Image covers 240 mm x 240 mm | 240x240 | Slice index 107 | Brain
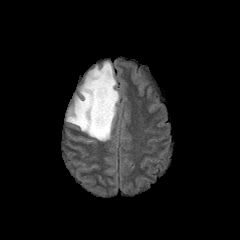
FLAIR MRI.
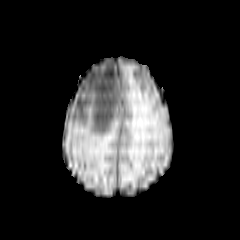
Same slice, T1-weighted MR.
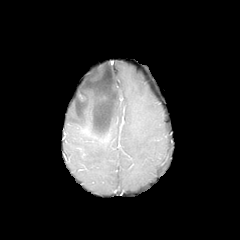
Post-contrast T1-weighted MR.
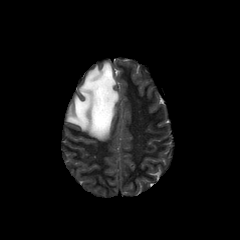
T2-weighted magnetic resonance.
<segmentation>
  <peritumoral_edema><box>66,61,119,141</box></peritumoral_edema>
</segmentation>